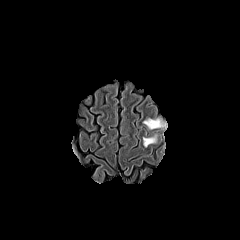
FLAIR MR image.
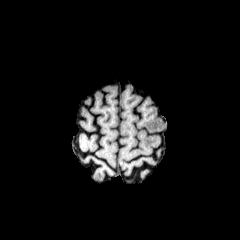
T1-weighted MR.
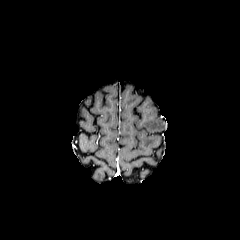
Post-contrast T1-weighted MRI.
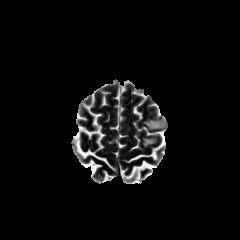
Same slice, T2-weighted MR image.
Axial view | 240x240 px
peritumoral edema: bounding box 143,136,156,146; 143,119,165,129